Slice index 59, Head
FLAIR MR image.
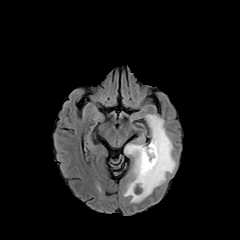
T1-weighted magnetic resonance.
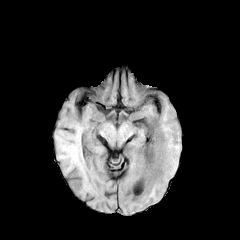
Post-contrast T1-weighted magnetic resonance.
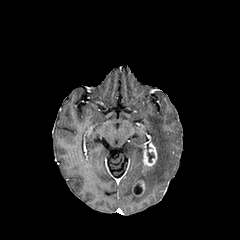
T2-weighted MR image.
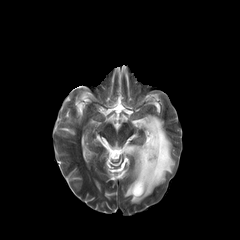
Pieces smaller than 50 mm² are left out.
<segmentation>
  <peritumoral_edema>(left=123, top=114, right=175, bottom=202)</peritumoral_edema>
  <enhancing_tumor>(left=142, top=142, right=157, bottom=169), (left=137, top=180, right=144, bottom=193)</enhancing_tumor>
  <necrotic_tumor_core>(left=133, top=183, right=142, bottom=194), (left=147, top=152, right=154, bottom=162)</necrotic_tumor_core>
</segmentation>